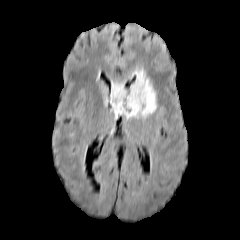
FLAIR MRI.
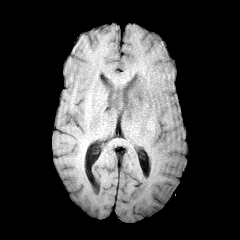
T1-weighted MR image.
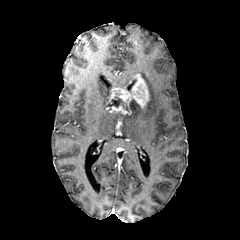
Post-contrast T1-weighted MRI.
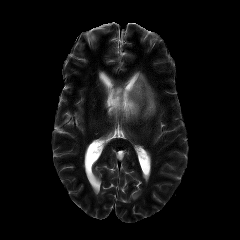
T2-weighted MRI.
Image size 240x240
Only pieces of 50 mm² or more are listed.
peritumoral edema: [122,70,156,120]
necrotic tumor core: [111,97,128,111]
enhancing tumor: [107,74,149,114]